Axial plane | 240x240 px | Image width 240 mm, 1.00 mm slice spacing
FLAIR MRI.
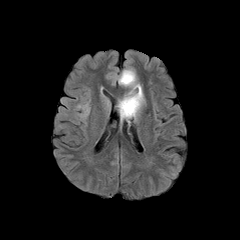
T1-weighted MR image.
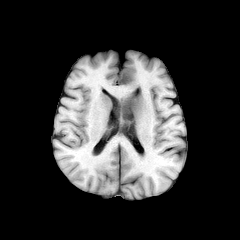
Post-contrast T1-weighted magnetic resonance.
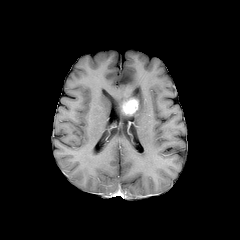
T2-weighted MR.
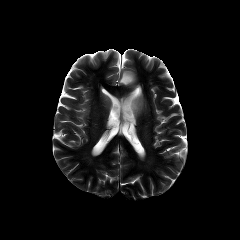
peritumoral edema: box(118, 69, 144, 120)
enhancing tumor: box(120, 97, 138, 116)